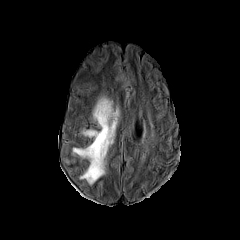
FLAIR MRI.
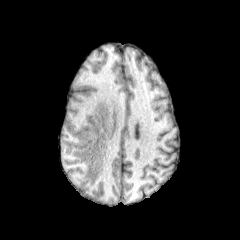
T1-weighted MR of the same slice.
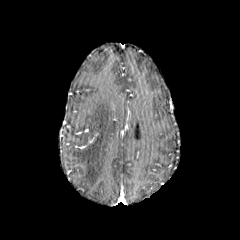
Post-contrast T1-weighted MRI of the same slice.
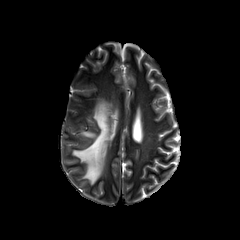
T2-weighted MRI of the same slice.
Brain, Axial plane
peritumoral edema at box=[73, 98, 118, 183]